FLAIR MR image.
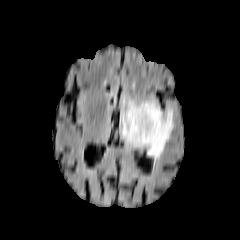
T1-weighted MRI.
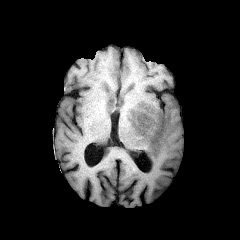
Post-contrast T1-weighted magnetic resonance.
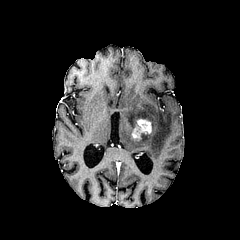
T2-weighted MR image.
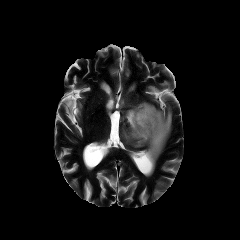
Head | 240x240 | Axial slice
The enhancing tumor is located at x1=131, y1=118, x2=152, y2=139. The peritumoral edema is at x1=121, y1=101, x2=176, y2=160.